FLAIR MRI.
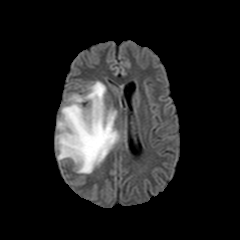
T1-weighted MR image.
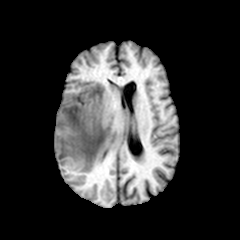
Post-contrast T1-weighted MRI.
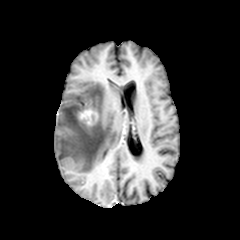
T2-weighted magnetic resonance.
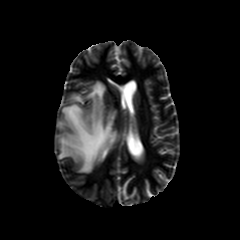
Brain, Image size 240x240, Axial slice
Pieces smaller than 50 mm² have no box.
{
  "enhancing_tumor": [
    "<bbox>79, 110, 97, 124</bbox>"
  ],
  "peritumoral_edema": [
    "<bbox>55, 81, 119, 173</bbox>"
  ]
}